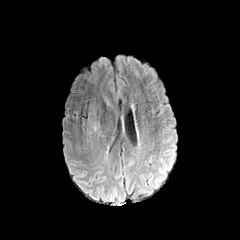
FLAIR magnetic resonance.
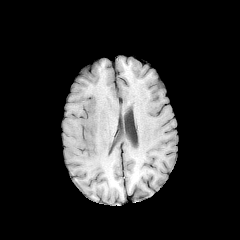
Same slice, T1-weighted magnetic resonance.
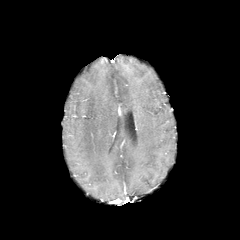
Post-contrast T1-weighted MRI.
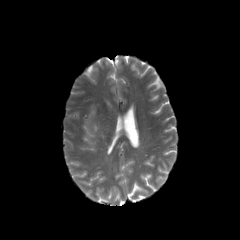
T2-weighted MR.
Axial plane
peritumoral edema: <bbox>92, 122, 99, 131</bbox>